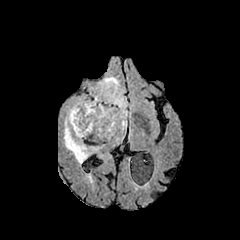
FLAIR magnetic resonance.
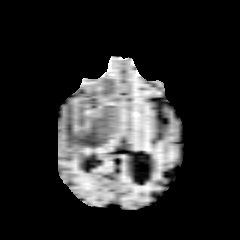
Same slice, T1-weighted magnetic resonance.
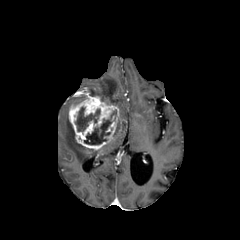
Post-contrast T1-weighted MR of the same slice.
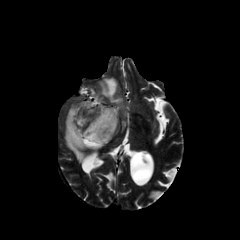
T2-weighted MR image.
Axial slice
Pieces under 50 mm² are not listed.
necrotic_tumor_core:
  - bbox(75, 107, 100, 131)
  - bbox(84, 119, 111, 144)
peritumoral_edema:
  - bbox(117, 120, 127, 131)
  - bbox(90, 77, 130, 119)
  - bbox(64, 114, 97, 163)
enhancing_tumor:
  - bbox(68, 96, 119, 149)